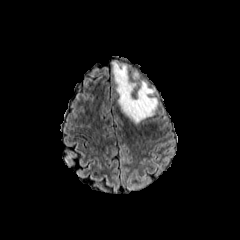
FLAIR magnetic resonance.
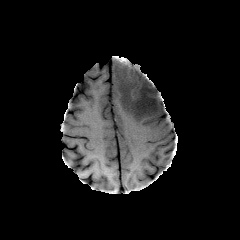
T1-weighted MR image.
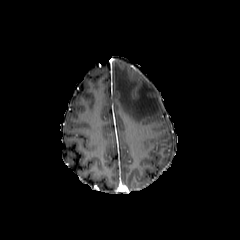
Same slice, post-contrast T1-weighted MRI.
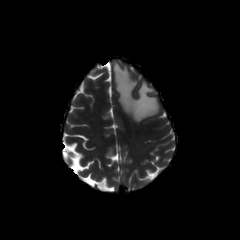
T2-weighted MR image.
Axial slice
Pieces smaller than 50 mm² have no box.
Segmented structures:
• peritumoral edema: bbox=[113, 62, 158, 123]